Image covers 240 mm x 240 mm, Axial plane, Head
FLAIR magnetic resonance.
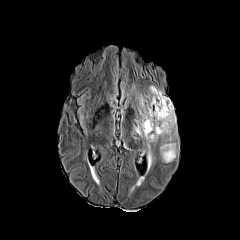
T1-weighted MR.
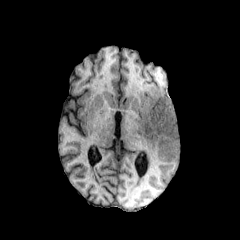
Post-contrast T1-weighted MR image.
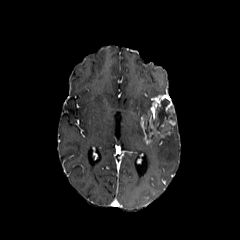
T2-weighted MR.
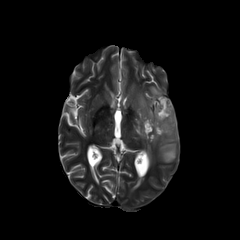
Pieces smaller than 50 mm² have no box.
{
  "peritumoral_edema": [
    "x1=149, y1=86, x2=163, y2=97",
    "x1=158, y1=124, x2=177, y2=162",
    "x1=133, y1=118, x2=144, y2=138",
    "x1=138, y1=95, x2=152, y2=115"
  ],
  "necrotic_tumor_core": [
    "x1=145, y1=120, x2=152, y2=138",
    "x1=153, y1=99, x2=170, y2=132"
  ],
  "enhancing_tumor": [
    "x1=140, y1=94, x2=176, y2=144"
  ]
}